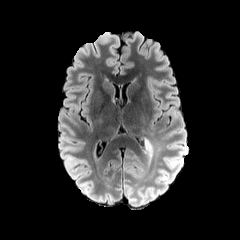
FLAIR MR.
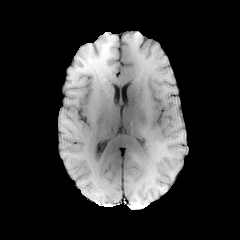
T1-weighted magnetic resonance.
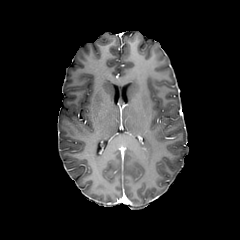
Post-contrast T1-weighted MRI.
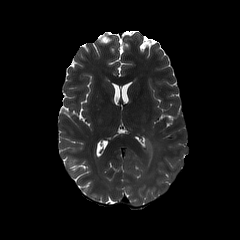
T2-weighted MR of the same slice.
Head
Findings:
- peritumoral edema: [146, 139, 151, 155]